Brain
FLAIR MR image.
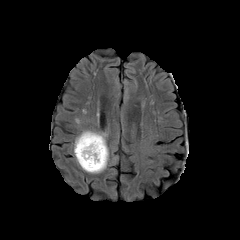
T1-weighted MRI.
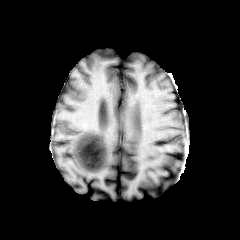
Post-contrast T1-weighted magnetic resonance.
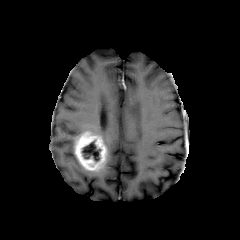
T2-weighted MR image.
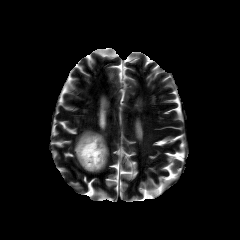
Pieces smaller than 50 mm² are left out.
<segmentation>
  <peritumoral_edema><bbox>75, 130, 109, 173</bbox></peritumoral_edema>
  <necrotic_tumor_core><bbox>82, 141, 100, 161</bbox></necrotic_tumor_core>
  <enhancing_tumor><bbox>74, 131, 107, 171</bbox></enhancing_tumor>
</segmentation>